Axial plane. Image covers 240 mm x 240 mm.
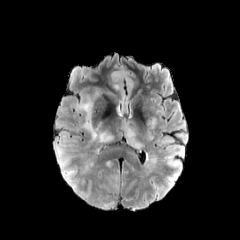
FLAIR MR image.
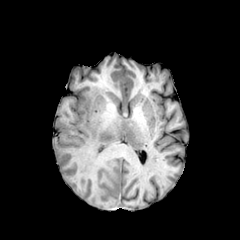
T1-weighted MR image of the same slice.
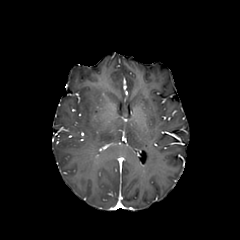
Same slice, post-contrast T1-weighted magnetic resonance.
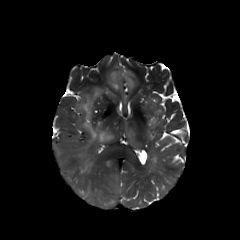
Same slice, T2-weighted magnetic resonance.
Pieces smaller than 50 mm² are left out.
Annotated regions:
* peritumoral edema: (121,121,141,147), (78,97,113,142)